FLAIR MR.
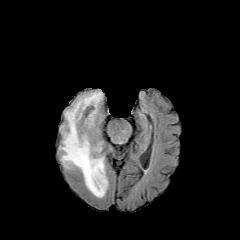
T1-weighted magnetic resonance.
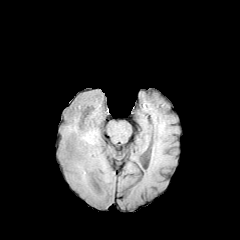
Post-contrast T1-weighted MR image.
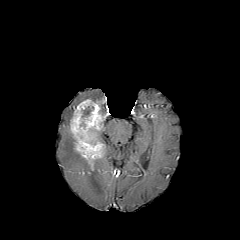
T2-weighted MRI.
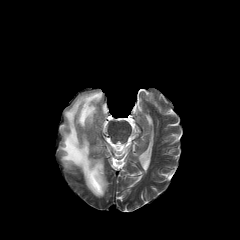
Axial view, Brain
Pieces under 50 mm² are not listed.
enhancing tumor — rect(70, 99, 103, 162)
peritumoral edema — rect(59, 90, 108, 197)
necrotic tumor core — rect(82, 106, 93, 117)